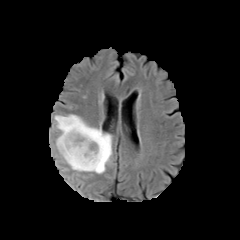
FLAIR MR image.
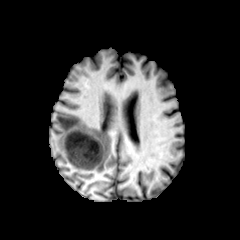
T1-weighted MRI.
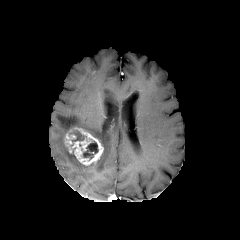
Post-contrast T1-weighted magnetic resonance.
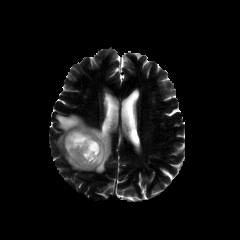
T2-weighted MR of the same slice.
Brain
peritumoral edema: [55, 114, 112, 173] | enhancing tumor: [63, 126, 103, 165] | necrotic tumor core: [71, 130, 84, 141], [83, 141, 98, 159]